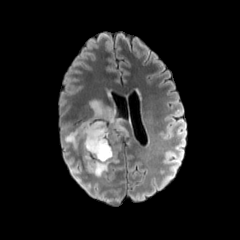
FLAIR MR.
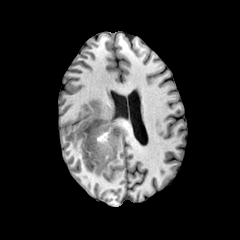
Same slice, T1-weighted MR image.
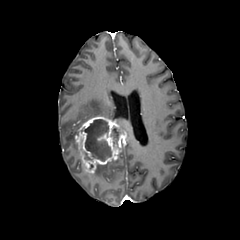
Post-contrast T1-weighted MR of the same slice.
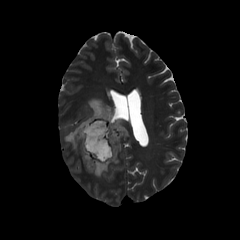
T2-weighted MRI.
Axial slice.
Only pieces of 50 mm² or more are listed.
peritumoral edema: (94, 162, 111, 176), (64, 121, 84, 148), (88, 99, 124, 128)
enhancing tumor: (74, 115, 127, 173)
necrotic tumor core: (111, 127, 119, 144), (81, 119, 111, 161)